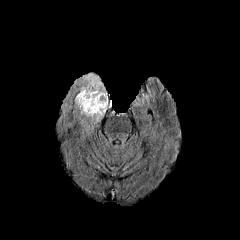
FLAIR MR image.
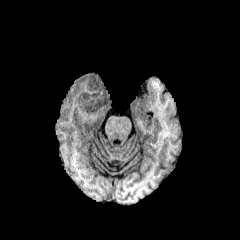
T1-weighted MR.
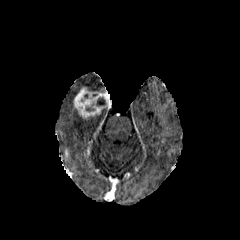
Post-contrast T1-weighted magnetic resonance.
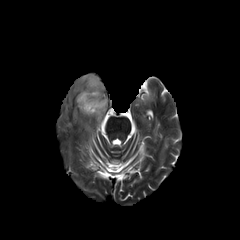
T2-weighted MRI.
240x240 px. Head.
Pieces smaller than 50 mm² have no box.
Segmented structures:
- peritumoral edema: 78, 73, 105, 91; 89, 109, 106, 120
- necrotic tumor core: 96, 97, 105, 105
- enhancing tumor: 74, 87, 111, 117